240x240 px | Axial view | Brain
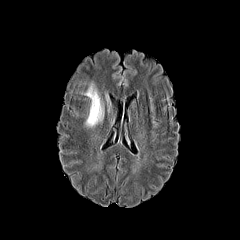
FLAIR magnetic resonance.
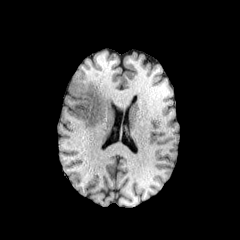
T1-weighted MR.
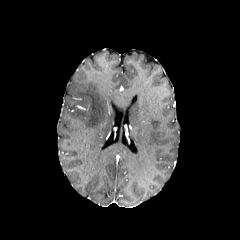
Post-contrast T1-weighted MR image of the same slice.
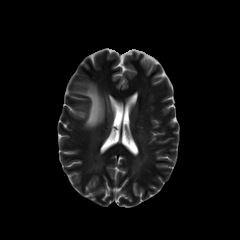
T2-weighted magnetic resonance of the same slice.
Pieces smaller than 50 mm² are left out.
peritumoral_edema:
  - l=81, t=83, r=104, b=127